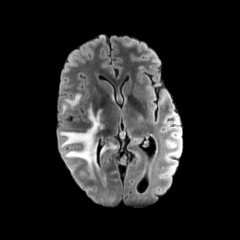
FLAIR MRI.
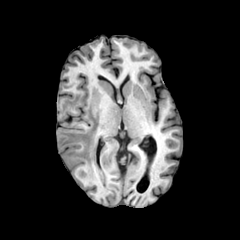
T1-weighted magnetic resonance.
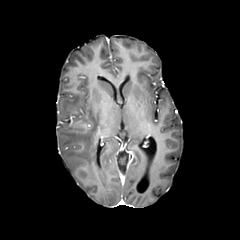
Same slice, post-contrast T1-weighted MR.
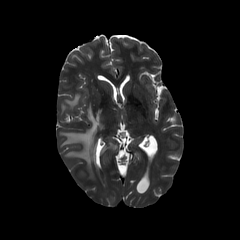
T2-weighted MRI.
Axial view | Brain
3 peritumoral edema regions are bounded by box=[101, 142, 116, 153]; box=[61, 103, 103, 169]; box=[63, 93, 81, 112].